240x240 px, Brain, Image width 240 mm, 1.00 mm slice spacing
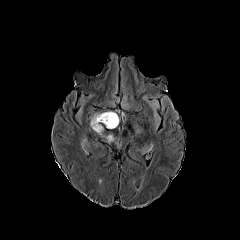
FLAIR MR image.
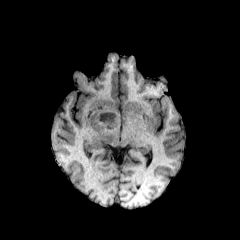
T1-weighted MRI.
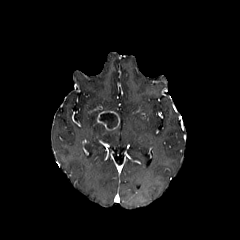
Same slice, post-contrast T1-weighted MR image.
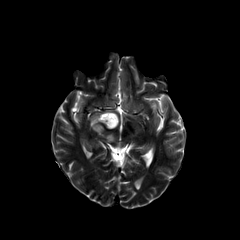
Same slice, T2-weighted MR image.
<segmentation>
  <necrotic_tumor_core>99 113 117 128</necrotic_tumor_core>
  <peritumoral_edema>90 113 103 135, 105 134 114 142</peritumoral_edema>
  <enhancing_tumor>97 110 119 129</enhancing_tumor>
</segmentation>